Image width 240 mm, 1.00 mm slice spacing, Brain, Slice index 129
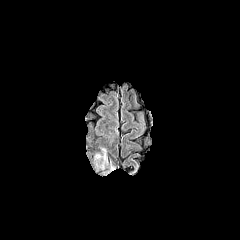
FLAIR magnetic resonance.
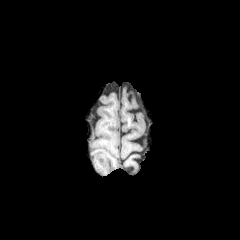
T1-weighted MRI of the same slice.
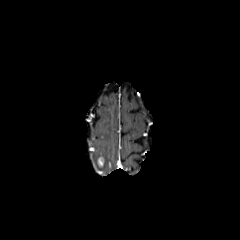
Post-contrast T1-weighted MR image.
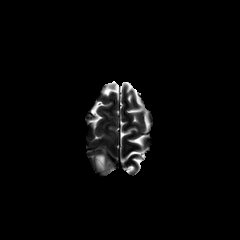
T2-weighted MR.
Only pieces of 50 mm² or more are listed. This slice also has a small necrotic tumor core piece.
The enhancing tumor is at x1=97 y1=156 x2=104 y2=167. The largest peritumoral edema region is at x1=95 y1=149 x2=106 y2=162.